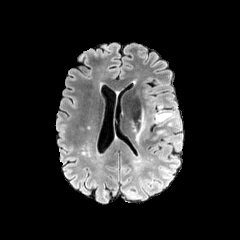
FLAIR MR.
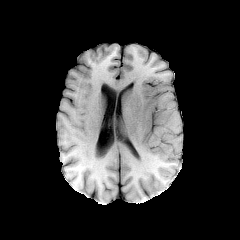
Same slice, T1-weighted MRI.
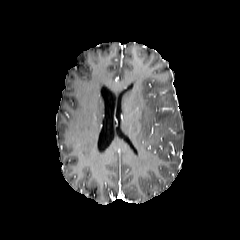
Post-contrast T1-weighted magnetic resonance.
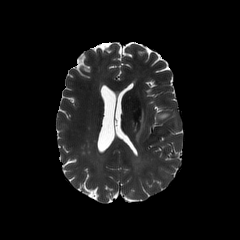
Same slice, T2-weighted magnetic resonance.
240x240 px | Head
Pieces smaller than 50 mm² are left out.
• peritumoral edema: {"x1": 136, "y1": 112, "x2": 144, "y2": 141}, {"x1": 156, "y1": 112, "x2": 174, "y2": 121}